FLAIR MRI.
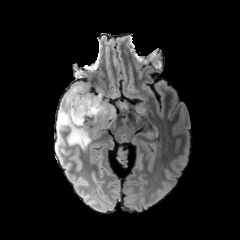
T1-weighted magnetic resonance.
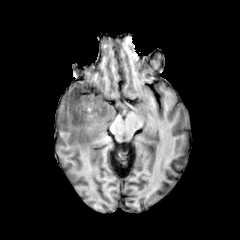
Post-contrast T1-weighted MR image.
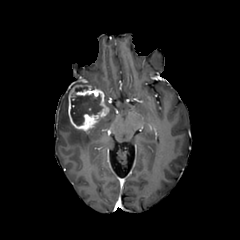
T2-weighted MR image.
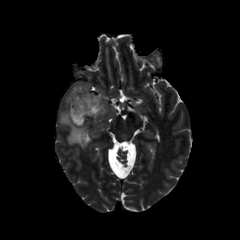
Image size 240x240 | Head
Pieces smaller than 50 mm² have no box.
The largest peritumoral edema region is bounded by x1=58 y1=82 x2=89 y2=148. The largest necrotic tumor core region is at x1=70 y1=93 x2=102 y2=125. The largest enhancing tumor region is located at x1=68 y1=81 x2=109 y2=131.